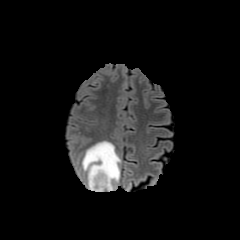
FLAIR MR image.
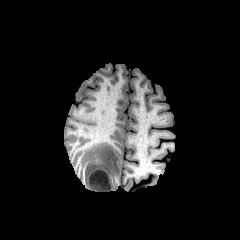
T1-weighted MR image.
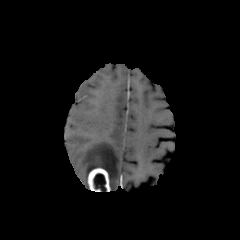
Post-contrast T1-weighted magnetic resonance of the same slice.
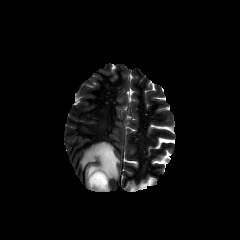
T2-weighted MR.
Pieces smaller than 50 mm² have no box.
<segmentation>
  <peritumoral_edema>(81,141,121,190)</peritumoral_edema>
  <necrotic_tumor_core>(93,173,106,191)</necrotic_tumor_core>
  <enhancing_tumor>(87,168,110,191)</enhancing_tumor>
</segmentation>